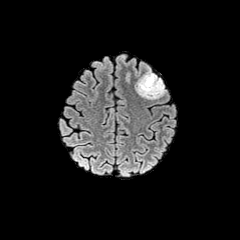
FLAIR MRI.
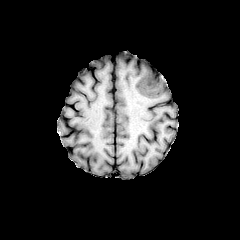
T1-weighted magnetic resonance of the same slice.
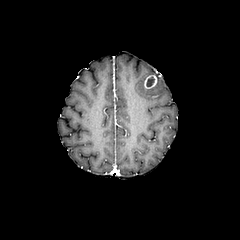
Same slice, post-contrast T1-weighted MRI.
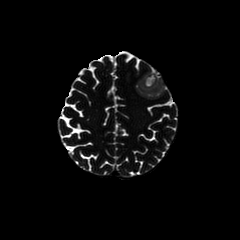
T2-weighted MR.
240x240 px
<segmentation>
  <enhancing_tumor>(144,74,157,89)</enhancing_tumor>
  <peritumoral_edema>(136,69,165,99)</peritumoral_edema>
  <necrotic_tumor_core>(147,77,154,86)</necrotic_tumor_core>
</segmentation>